Head, 240x240 px
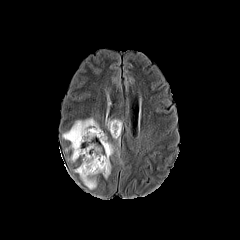
FLAIR magnetic resonance.
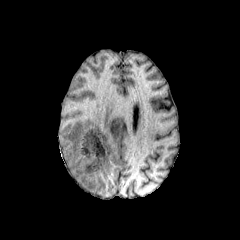
Same slice, T1-weighted magnetic resonance.
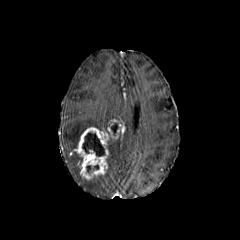
Post-contrast T1-weighted MRI of the same slice.
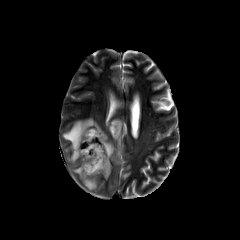
T2-weighted MR.
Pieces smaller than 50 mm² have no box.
enhancing_tumor:
  - box(74, 119, 122, 180)
necrotic_tumor_core:
  - box(82, 132, 104, 156)
  - box(111, 123, 118, 135)
peritumoral_edema:
  - box(62, 118, 102, 162)
  - box(104, 140, 119, 178)
  - box(73, 166, 96, 189)